Slice 81/155. Axial plane.
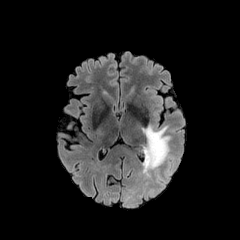
FLAIR MRI.
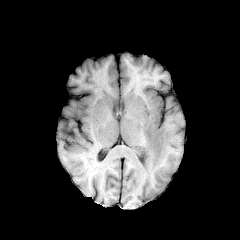
Same slice, T1-weighted MRI.
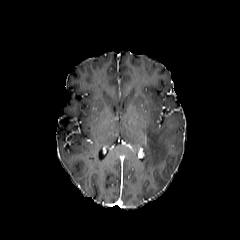
Post-contrast T1-weighted magnetic resonance of the same slice.
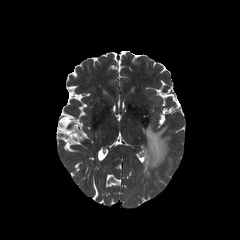
T2-weighted magnetic resonance.
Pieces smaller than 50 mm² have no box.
The largest peritumoral edema region is at left=141, top=124, right=172, bottom=183.